Axial slice. Head. Slice 102 of 155.
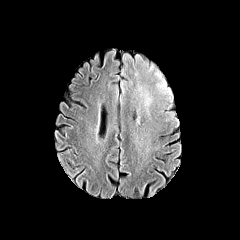
FLAIR MR.
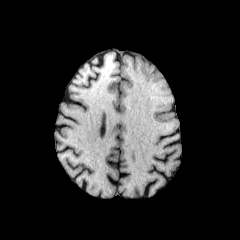
T1-weighted MR image.
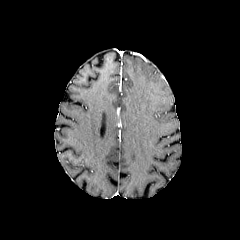
Post-contrast T1-weighted magnetic resonance.
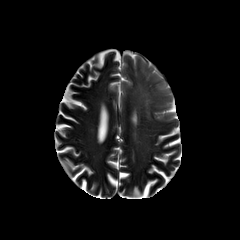
T2-weighted magnetic resonance.
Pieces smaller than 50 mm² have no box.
peritumoral edema: 144, 90, 151, 104; 155, 72, 170, 94